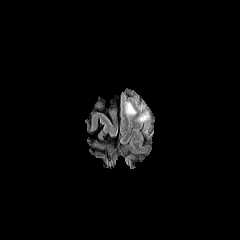
FLAIR MR.
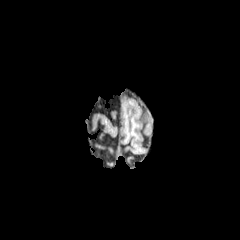
T1-weighted MRI.
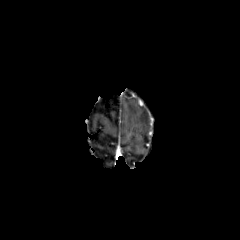
Same slice, post-contrast T1-weighted magnetic resonance.
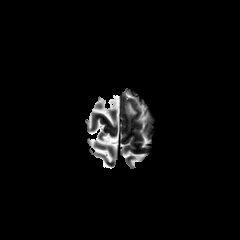
T2-weighted MR of the same slice.
Head. Axial plane.
peritumoral edema: x1=138 y1=113 x2=148 y2=122, x1=125 y1=102 x2=136 y2=115